Brain.
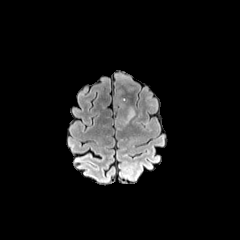
FLAIR MR image.
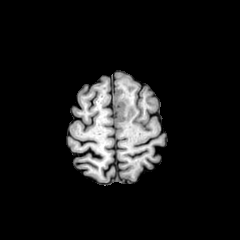
T1-weighted MR image.
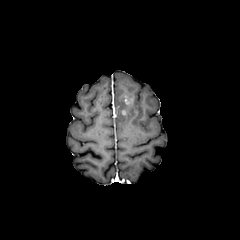
Post-contrast T1-weighted MR image of the same slice.
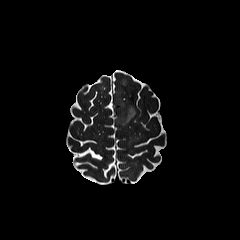
T2-weighted MR image.
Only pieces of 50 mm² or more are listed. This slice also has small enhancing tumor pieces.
peritumoral_edema:
  - left=116, top=97, right=135, bottom=124